FLAIR magnetic resonance.
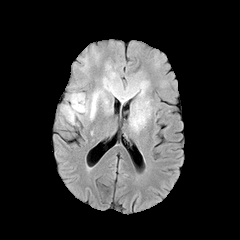
T1-weighted MRI.
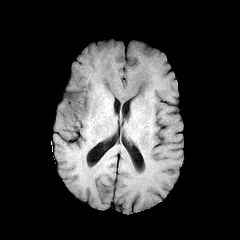
Post-contrast T1-weighted MR.
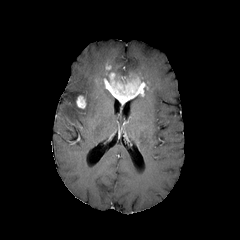
T2-weighted magnetic resonance.
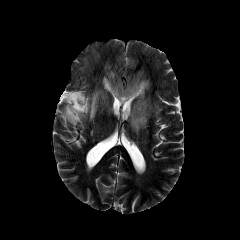
Axial plane. 240x240.
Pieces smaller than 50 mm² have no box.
The 2 largest peritumoral edema regions are bounded by 129 72 152 131, 61 69 121 124. The 2 largest enhancing tumor regions appear at 76 95 86 109, 103 72 147 104.